Slice index 57, Head
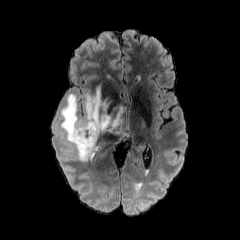
FLAIR MR.
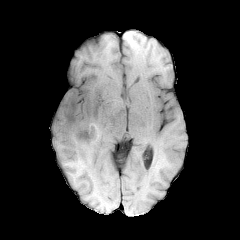
Same slice, T1-weighted MR.
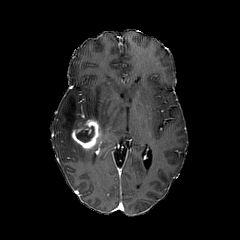
Post-contrast T1-weighted MR image of the same slice.
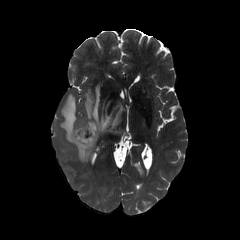
T2-weighted MR image.
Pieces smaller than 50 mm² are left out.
enhancing_tumor:
  - [71,119,100,149]
necrotic_tumor_core:
  - [76,124,94,142]
peritumoral_edema:
  - [60,84,129,161]